Slice index 58
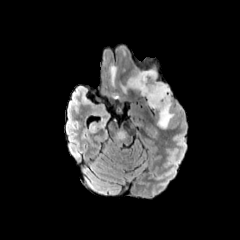
FLAIR magnetic resonance.
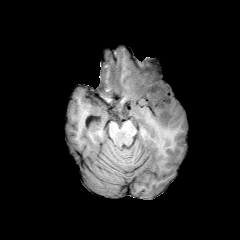
Same slice, T1-weighted MR image.
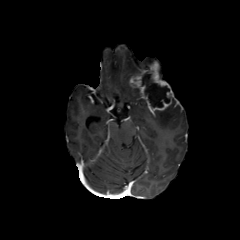
Same slice, post-contrast T1-weighted MR.
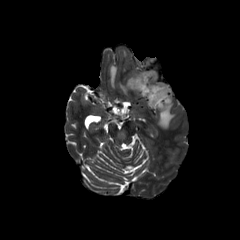
T2-weighted MRI of the same slice.
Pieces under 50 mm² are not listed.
The 3 largest peritumoral edema regions are located at rect(120, 66, 141, 93); rect(156, 100, 174, 129); rect(109, 65, 117, 86). The enhancing tumor appears at rect(129, 61, 174, 111). The necrotic tumor core appears at rect(142, 72, 169, 107).